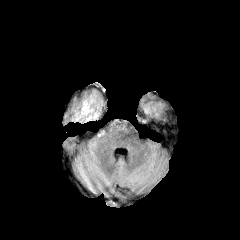
FLAIR MR image.
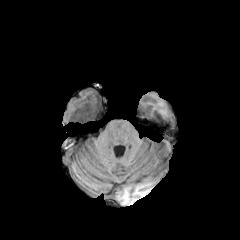
T1-weighted MR.
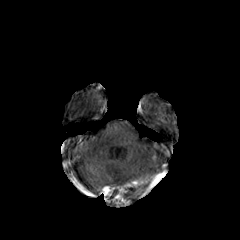
Post-contrast T1-weighted MRI.
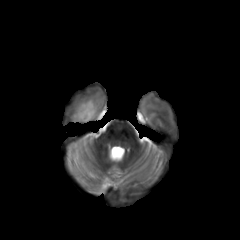
T2-weighted MR of the same slice.
Brain, 240x240 px
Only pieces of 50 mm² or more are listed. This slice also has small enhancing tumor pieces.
The peritumoral edema is located at (x1=72, y1=91, x2=100, y2=120). The largest necrotic tumor core region lies within (x1=75, y1=113, x2=92, y2=123).